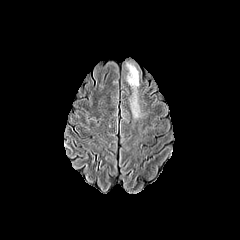
FLAIR magnetic resonance.
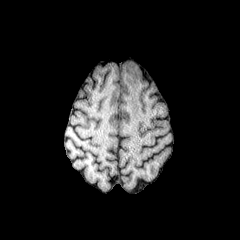
T1-weighted magnetic resonance.
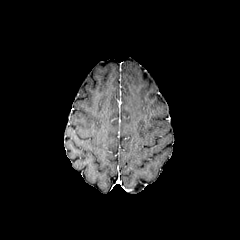
Same slice, post-contrast T1-weighted MRI.
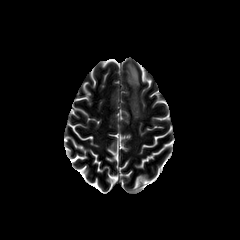
T2-weighted MRI.
240x240 px | Axial slice | Head
<segmentation>
  <peritumoral_edema>x1=127 y1=64 x2=139 y2=117</peritumoral_edema>
</segmentation>